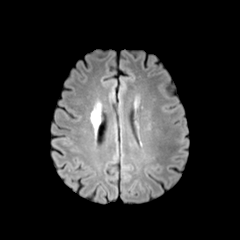
FLAIR magnetic resonance.
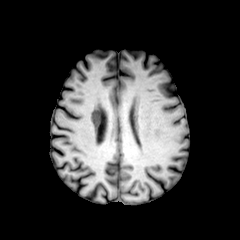
T1-weighted magnetic resonance of the same slice.
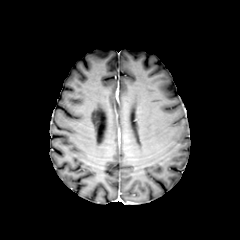
Post-contrast T1-weighted magnetic resonance.
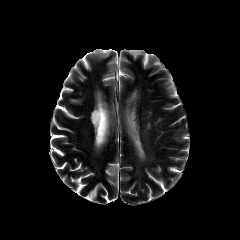
T2-weighted MR image.
Brain. 240x240. Axial view.
The peritumoral edema is located at [90,104,101,130].